FLAIR MRI.
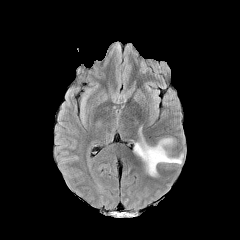
T1-weighted magnetic resonance.
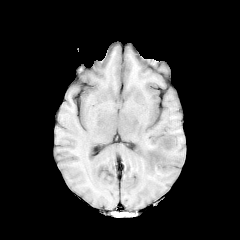
Post-contrast T1-weighted magnetic resonance.
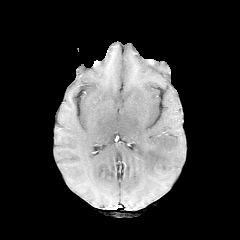
T2-weighted MR image.
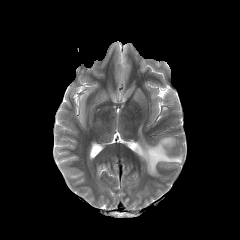
Brain; Axial view
peritumoral edema = {"x1": 134, "y1": 127, "x2": 183, "y2": 176}